FLAIR magnetic resonance.
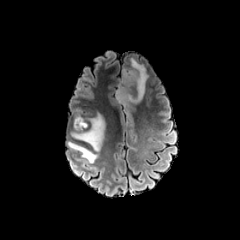
T1-weighted MR image.
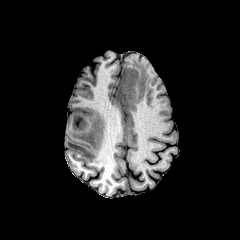
Post-contrast T1-weighted MR.
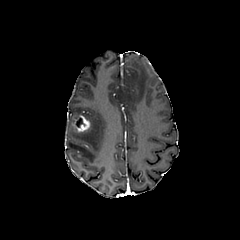
T2-weighted MRI.
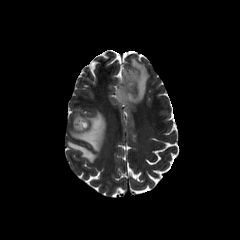
Image size 240x240. Head.
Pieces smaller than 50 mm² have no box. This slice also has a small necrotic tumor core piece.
{
  "enhancing_tumor": [
    "(left=72, top=115, right=90, bottom=131)"
  ],
  "peritumoral_edema": [
    "(left=116, top=58, right=148, bottom=104)",
    "(left=67, top=112, right=105, bottom=162)"
  ]
}